Brain.
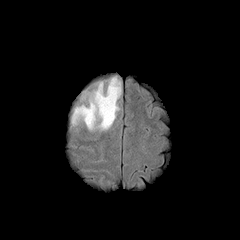
FLAIR MRI.
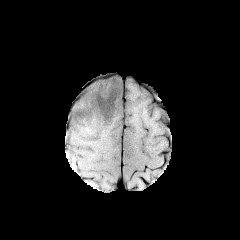
T1-weighted magnetic resonance.
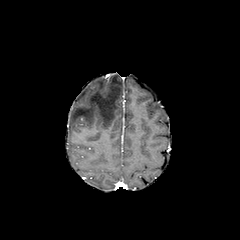
Post-contrast T1-weighted magnetic resonance of the same slice.
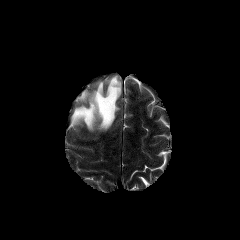
Same slice, T2-weighted MRI.
peritumoral edema — [71,76,121,130]